Brain | Image covers 240 mm x 240 mm
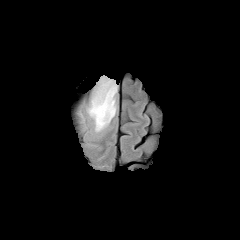
FLAIR magnetic resonance.
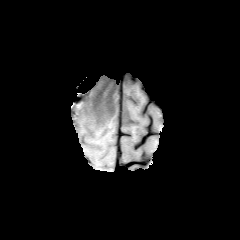
T1-weighted magnetic resonance.
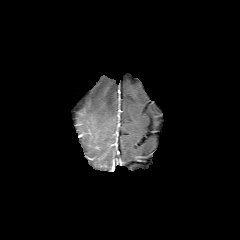
Post-contrast T1-weighted MR image.
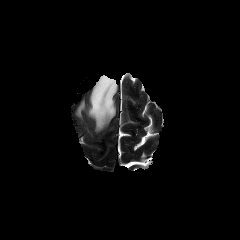
T2-weighted MRI.
Annotated regions:
• peritumoral edema: (88,76,117,131)